Slice 74/155, Axial plane
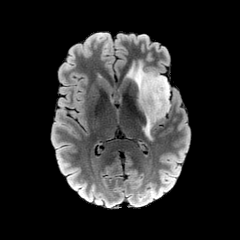
FLAIR MR image.
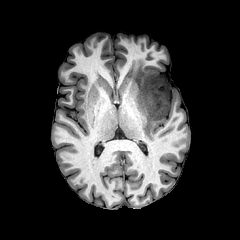
T1-weighted MRI.
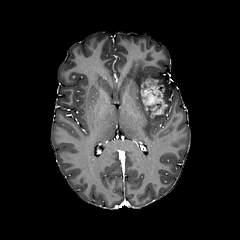
Same slice, post-contrast T1-weighted MR image.
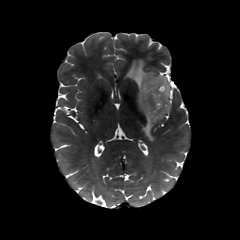
T2-weighted MR image of the same slice.
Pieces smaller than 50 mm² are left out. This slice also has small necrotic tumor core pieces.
• enhancing tumor: 140 78 167 118
• peritumoral edema: 126 61 169 139